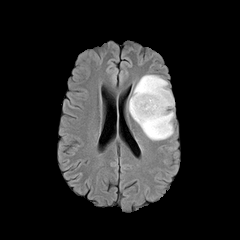
FLAIR MR.
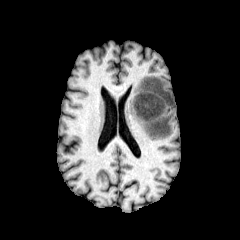
Same slice, T1-weighted magnetic resonance.
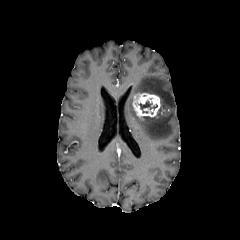
Post-contrast T1-weighted MR.
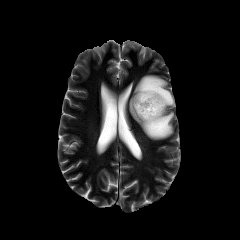
T2-weighted MR image of the same slice.
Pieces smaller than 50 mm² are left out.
<segmentation>
  <enhancing_tumor>box=[132, 92, 161, 118]</enhancing_tumor>
  <peritumoral_edema>box=[128, 75, 174, 140]</peritumoral_edema>
  <necrotic_tumor_core>box=[139, 101, 157, 110]</necrotic_tumor_core>
</segmentation>